Axial slice, Image width 240 mm, 1.00 mm slice spacing, 240x240 px, Slice 80 of 155
FLAIR MR image.
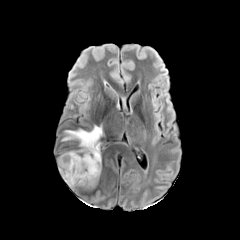
T1-weighted magnetic resonance.
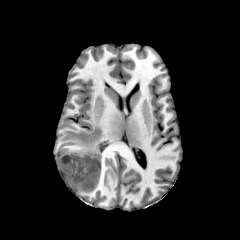
Post-contrast T1-weighted MR image.
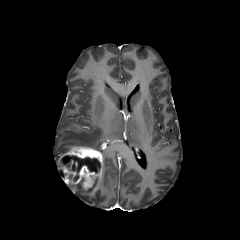
T2-weighted magnetic resonance.
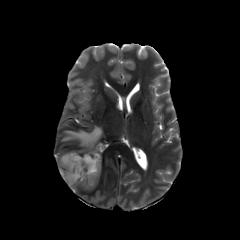
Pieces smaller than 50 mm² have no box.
enhancing tumor = (57, 146, 101, 189)
peritumoral edema = (62, 125, 102, 150)
necrotic tumor core = (58, 155, 100, 181)